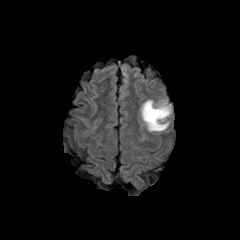
FLAIR MR image.
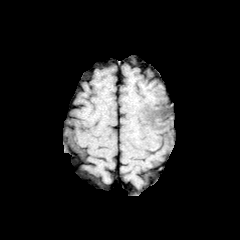
T1-weighted magnetic resonance.
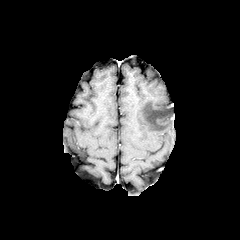
Post-contrast T1-weighted MR image.
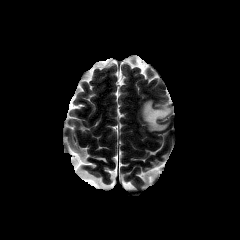
T2-weighted magnetic resonance.
peritumoral edema — bbox(141, 100, 171, 131)